Axial view
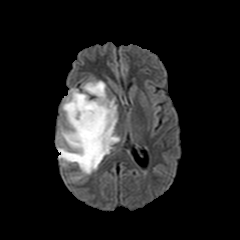
FLAIR MR image.
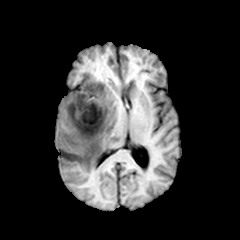
T1-weighted MR.
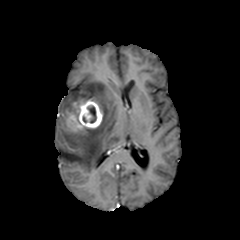
Post-contrast T1-weighted MRI.
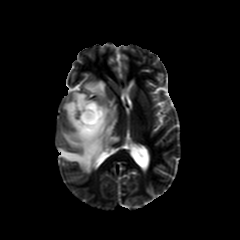
T2-weighted MRI.
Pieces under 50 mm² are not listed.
{
  "necrotic_tumor_core": [
    "[87, 106, 96, 123]"
  ],
  "peritumoral_edema": [
    "[57, 80, 119, 174]"
  ],
  "enhancing_tumor": [
    "[67, 99, 103, 133]"
  ]
}